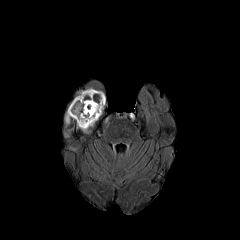
FLAIR MR image.
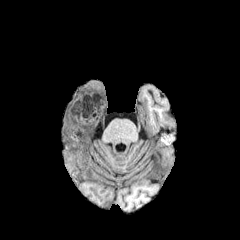
T1-weighted MR image of the same slice.
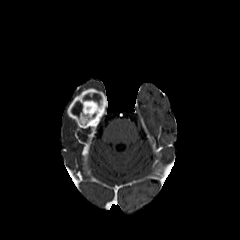
Same slice, post-contrast T1-weighted MR image.
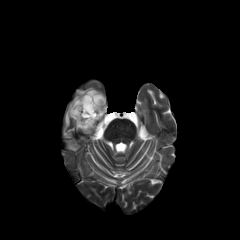
Same slice, T2-weighted MR.
240x240 px
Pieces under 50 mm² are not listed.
peritumoral edema: bounding box 65 113 71 125
necrotic tumor core: bounding box 71 101 82 117, 82 92 101 104
enhancing tumor: bounding box 67 88 107 128